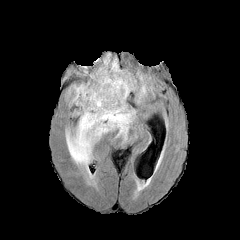
FLAIR MR.
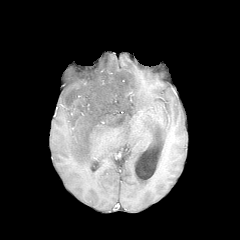
T1-weighted magnetic resonance of the same slice.
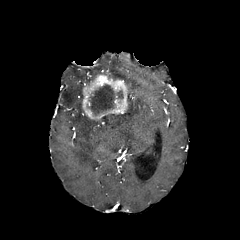
Post-contrast T1-weighted MR of the same slice.
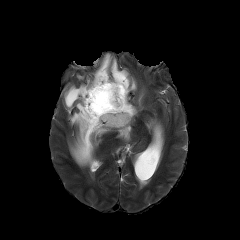
Same slice, T2-weighted MR image.
Brain.
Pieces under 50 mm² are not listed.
peritumoral edema: [x1=64, y1=83, x2=136, y2=169], [x1=138, y1=85, x2=145, y2=102], [x1=87, y1=54, x2=136, y2=92] | necrotic tumor core: [x1=90, y1=85, x2=114, y2=114] | enhancing tumor: [x1=82, y1=71, x2=128, y2=121]